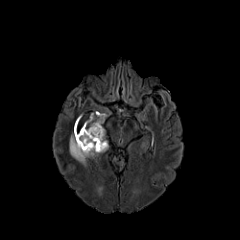
FLAIR MRI.
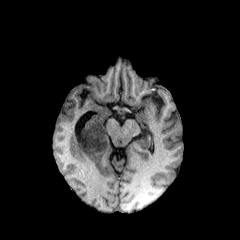
Same slice, T1-weighted magnetic resonance.
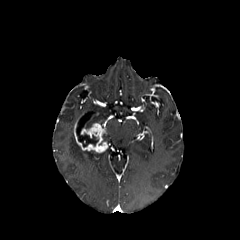
Post-contrast T1-weighted MR.
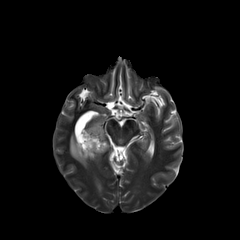
T2-weighted MR of the same slice.
Image size 240x240 | Brain | Axial slice
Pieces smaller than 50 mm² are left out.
The necrotic tumor core is bounded by 78:133:98:147. The 2 largest peritumoral edema regions appear at 69:134:100:164, 85:113:106:128. The largest enhancing tumor region is bounded by 74:121:108:152.